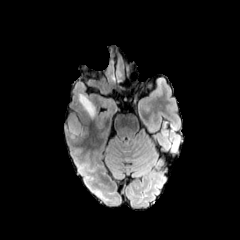
FLAIR MR.
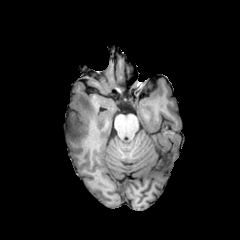
Same slice, T1-weighted MR.
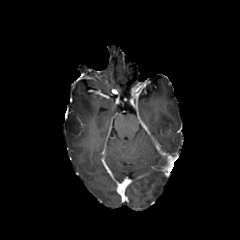
Post-contrast T1-weighted MRI.
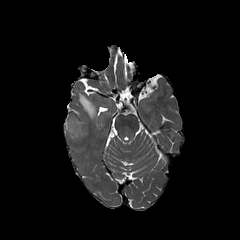
Same slice, T2-weighted MR image.
Brain
Findings:
• peritumoral edema: 77 93 95 117, 65 118 83 141